Image size 240x240
FLAIR MRI.
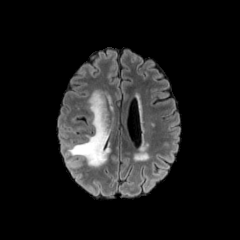
T1-weighted MRI.
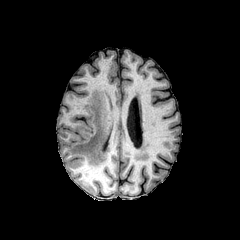
Post-contrast T1-weighted MRI.
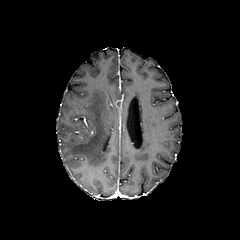
T2-weighted MR image.
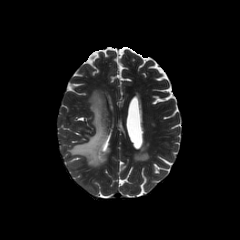
The peritumoral edema is located at region(69, 90, 111, 166).